Axial view; Slice 43/155
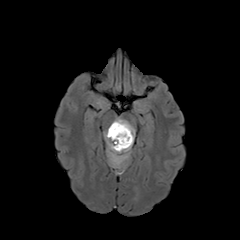
FLAIR MRI.
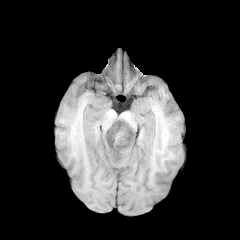
T1-weighted MRI.
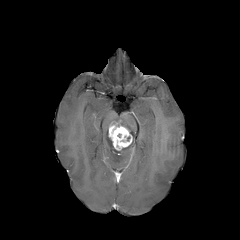
Same slice, post-contrast T1-weighted MRI.
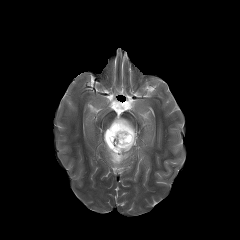
T2-weighted MR of the same slice.
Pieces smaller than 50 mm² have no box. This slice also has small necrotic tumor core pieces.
The enhancing tumor lies within bbox(108, 120, 133, 150). 2 peritumoral edema regions are located at bbox(113, 117, 135, 139); bbox(103, 129, 133, 171).